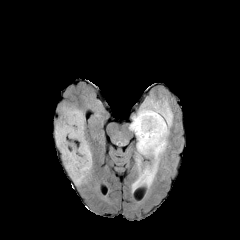
FLAIR magnetic resonance.
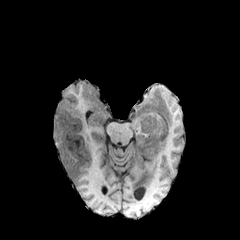
T1-weighted magnetic resonance of the same slice.
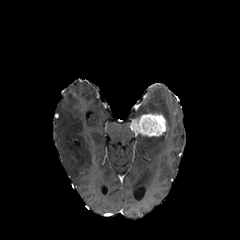
Post-contrast T1-weighted MRI of the same slice.
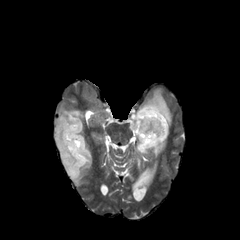
T2-weighted magnetic resonance.
Head. Axial view.
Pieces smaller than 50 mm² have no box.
{
  "peritumoral_edema": [
    "54,102,92,185",
    "136,155,142,168",
    "131,90,173,191"
  ],
  "enhancing_tumor": [
    "130,113,166,136"
  ]
}